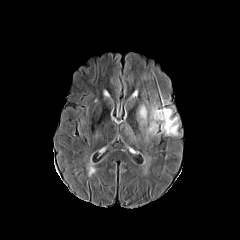
FLAIR MRI.
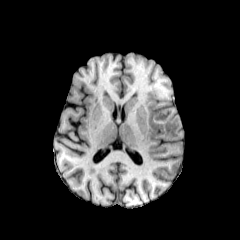
Same slice, T1-weighted magnetic resonance.
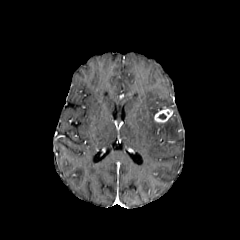
Post-contrast T1-weighted magnetic resonance.
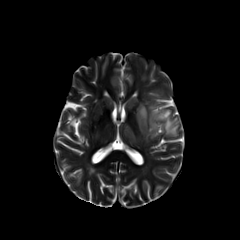
T2-weighted magnetic resonance.
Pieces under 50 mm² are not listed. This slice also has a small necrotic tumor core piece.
enhancing tumor: <box>154,108,172,122</box>
peritumoral edema: <box>146,106,178,138</box>, <box>138,105,147,125</box>